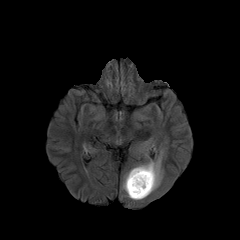
FLAIR MRI.
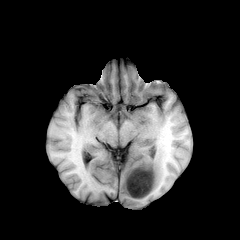
T1-weighted MRI.
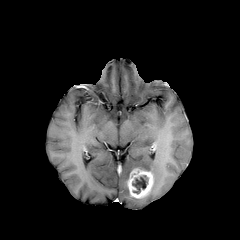
Same slice, post-contrast T1-weighted MR.
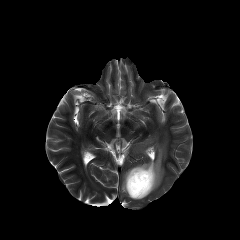
T2-weighted MR image of the same slice.
Brain
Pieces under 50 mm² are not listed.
The enhancing tumor is located at (x1=126, y1=168, x2=154, y2=198). The necrotic tumor core is located at (x1=132, y1=175, x2=148, y2=193). The largest peritumoral edema region appears at (x1=122, y1=149, x2=163, y2=200).